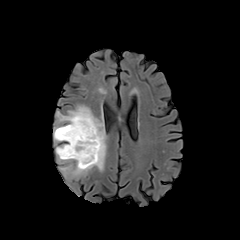
FLAIR MR.
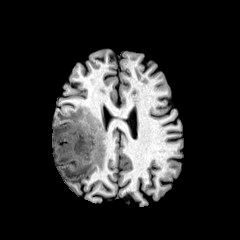
T1-weighted MR image of the same slice.
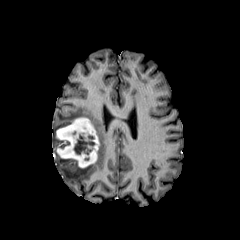
Same slice, post-contrast T1-weighted MR.
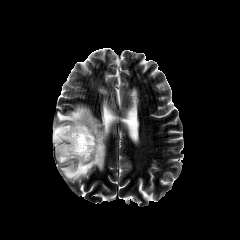
T2-weighted magnetic resonance.
Axial plane.
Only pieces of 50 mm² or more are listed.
The enhancing tumor lies within 56, 117, 99, 168. The largest peritumoral edema region is at 53, 105, 106, 180. The largest necrotic tumor core region is bounded by 74, 134, 94, 154.